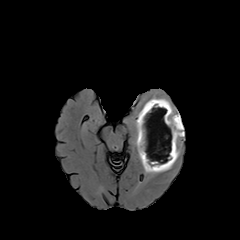
FLAIR MR image.
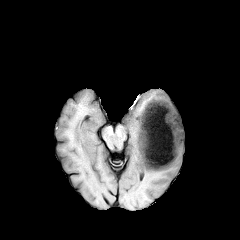
T1-weighted MRI.
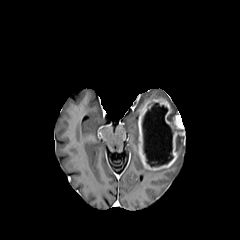
Post-contrast T1-weighted MR.
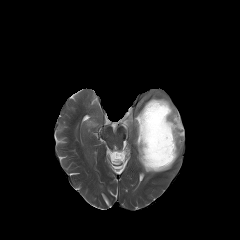
T2-weighted MR image of the same slice.
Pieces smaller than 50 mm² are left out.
peritumoral edema at x1=142, y1=164, x2=171, y2=173; x1=148, y1=96, x2=177, y2=114; x1=134, y1=112, x2=139, y2=151; x1=177, y1=136, x2=184, y2=155
enhancing tumor at x1=138, y1=99, x2=184, y2=170
necrotic tumor core at x1=142, y1=103, x2=173, y2=166